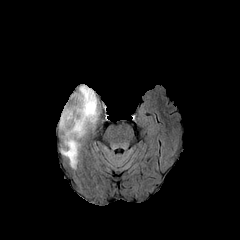
FLAIR magnetic resonance.
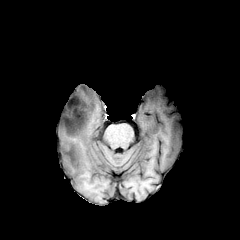
T1-weighted MR.
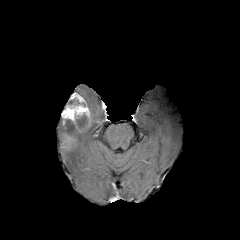
Post-contrast T1-weighted magnetic resonance.
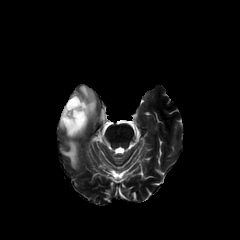
T2-weighted magnetic resonance.
Brain. Axial view.
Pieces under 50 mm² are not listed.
Findings:
• necrotic tumor core: 66 119 79 136, 77 115 88 129
• enhancing tumor: 61 92 90 138
• peritumoral edema: 59 117 87 168, 76 84 99 126